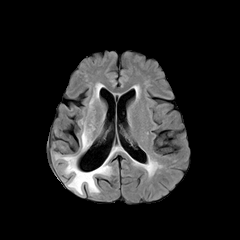
FLAIR MRI.
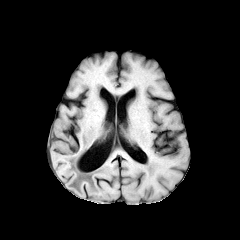
T1-weighted MR.
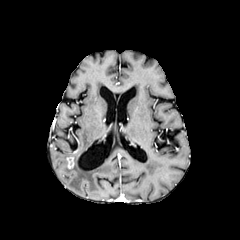
Post-contrast T1-weighted magnetic resonance of the same slice.
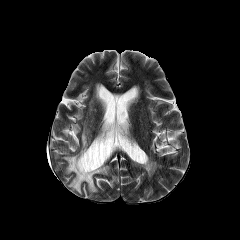
T2-weighted magnetic resonance.
Axial slice | Head
peritumoral edema — (54,147,118,193), (79,122,93,154), (89,85,100,107)
enhancing tumor — (67,157,75,168)